Axial plane. Head. Image width 240 mm, 1.00 mm slice spacing.
FLAIR MRI.
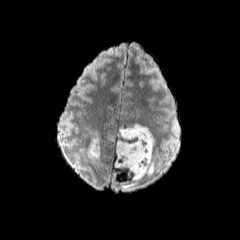
T1-weighted MR image.
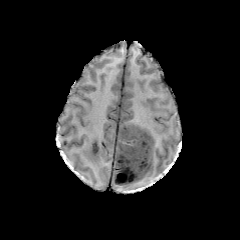
Post-contrast T1-weighted MRI.
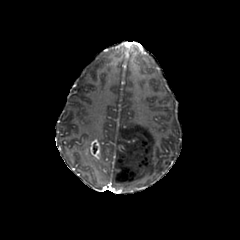
T2-weighted MR.
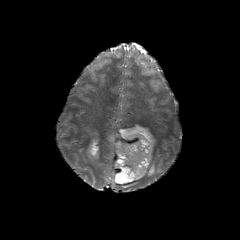
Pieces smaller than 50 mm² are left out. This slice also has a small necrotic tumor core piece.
<segmentation>
  <enhancing_tumor>bbox(83, 138, 100, 159)</enhancing_tumor>
  <peritumoral_edema>bbox(112, 123, 154, 188); bbox(80, 144, 91, 153); bbox(88, 158, 102, 170)</peritumoral_edema>
</segmentation>